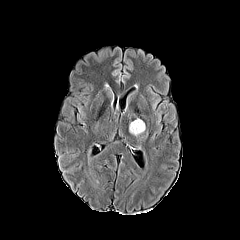
FLAIR MR.
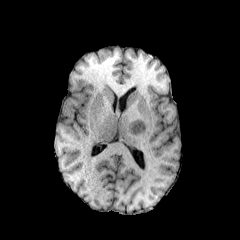
Same slice, T1-weighted MRI.
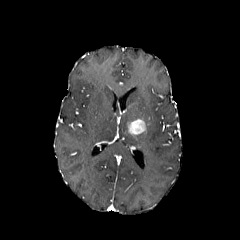
Post-contrast T1-weighted MRI of the same slice.
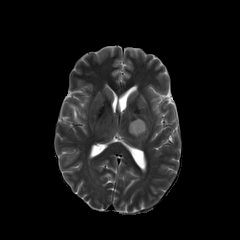
Same slice, T2-weighted MR.
240x240 px
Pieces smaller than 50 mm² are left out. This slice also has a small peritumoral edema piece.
The enhancing tumor is located at [128,119,145,134].